240x240 px, Brain
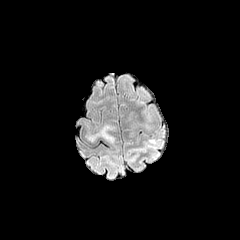
FLAIR MRI.
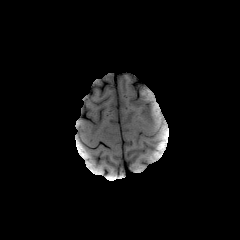
Same slice, T1-weighted magnetic resonance.
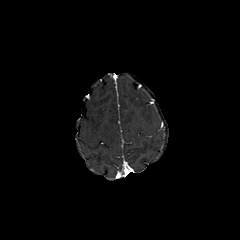
Post-contrast T1-weighted MR.
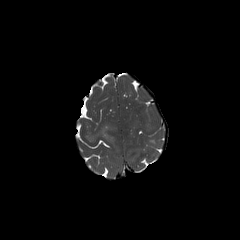
T2-weighted MRI.
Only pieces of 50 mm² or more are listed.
peritumoral edema: (left=96, top=126, right=113, bottom=142)